240x240 px | Axial view | Slice 125 of 155
FLAIR magnetic resonance.
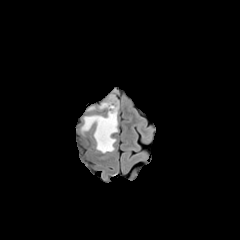
T1-weighted MR.
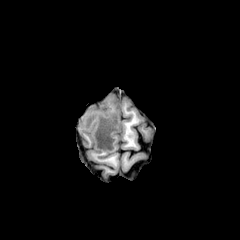
Post-contrast T1-weighted MR image.
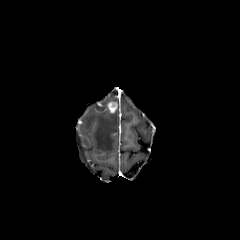
T2-weighted magnetic resonance.
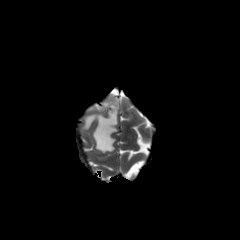
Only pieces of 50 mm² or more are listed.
peritumoral_edema:
  - region(99, 94, 113, 109)
  - region(82, 109, 117, 153)
enhancing_tumor:
  - region(107, 101, 117, 113)
necrotic_tumor_core:
  - region(107, 90, 117, 103)